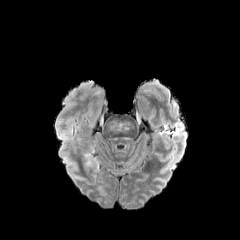
FLAIR MR image.
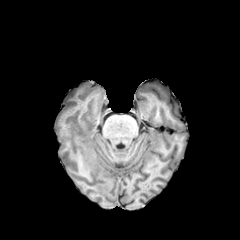
T1-weighted magnetic resonance.
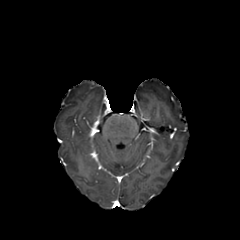
Post-contrast T1-weighted MRI.
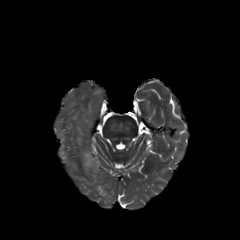
T2-weighted MR of the same slice.
{
  "peritumoral_edema": [
    "(85, 151, 97, 168)"
  ]
}